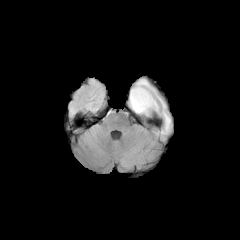
FLAIR MR image.
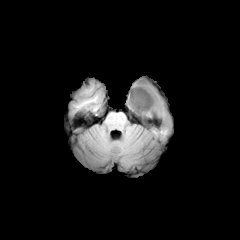
T1-weighted MR.
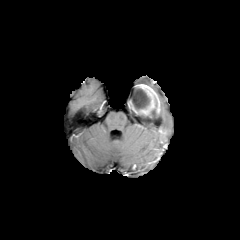
Same slice, post-contrast T1-weighted magnetic resonance.
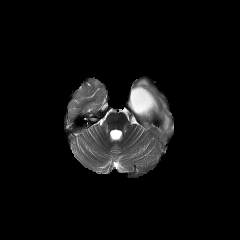
T2-weighted magnetic resonance.
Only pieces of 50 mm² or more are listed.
- enhancing tumor: x1=128, y1=84, x2=159, y2=116
- peritumoral edema: x1=136, y1=79, x2=150, y2=86; x1=159, y1=97, x2=170, y2=131
- necrotic tumor core: x1=133, y1=88, x2=150, y2=111